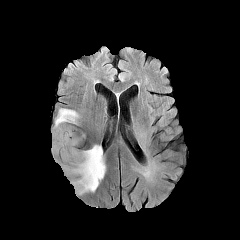
FLAIR MRI.
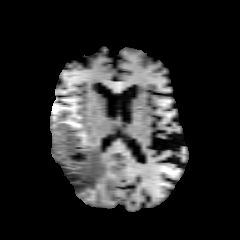
T1-weighted MR image.
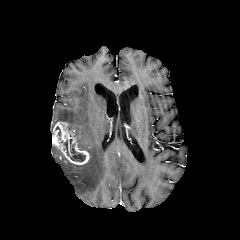
Same slice, post-contrast T1-weighted magnetic resonance.
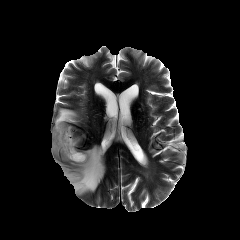
T2-weighted MRI.
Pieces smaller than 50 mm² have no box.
{"enhancing_tumor": ["(x1=52, y1=121, x2=89, y2=165)"], "peritumoral_edema": ["(x1=51, y1=145, x2=105, y2=195)", "(x1=55, y1=108, x2=79, y2=124)"], "necrotic_tumor_core": ["(x1=70, y1=145, x2=85, y2=161)"]}